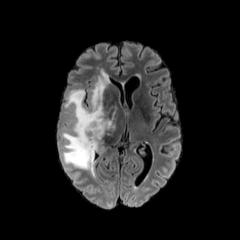
FLAIR magnetic resonance.
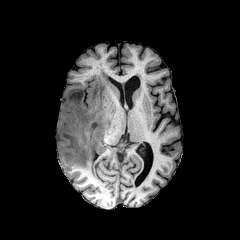
T1-weighted magnetic resonance of the same slice.
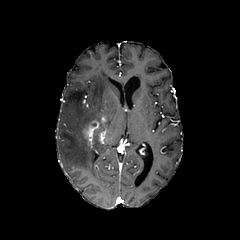
Post-contrast T1-weighted MR of the same slice.
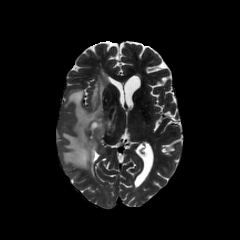
T2-weighted MRI.
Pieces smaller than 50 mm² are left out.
The enhancing tumor lies within box(81, 116, 106, 147). The largest peritumoral edema region lies within box(62, 73, 118, 174). The largest necrotic tumor core region appears at box(93, 125, 103, 140).